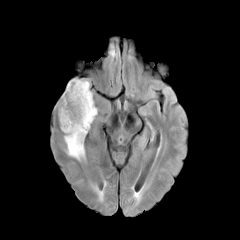
FLAIR magnetic resonance.
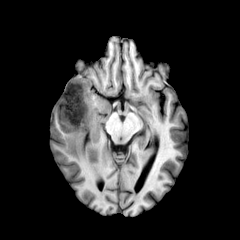
T1-weighted MR.
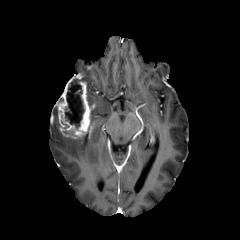
Post-contrast T1-weighted MR.
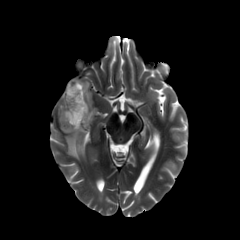
T2-weighted magnetic resonance of the same slice.
Axial view
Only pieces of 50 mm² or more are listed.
The largest necrotic tumor core region is bounded by <box>65,80,84,128</box>. The 2 largest peritumoral edema regions are located at <box>85,81,97,124</box>, <box>64,135,85,160</box>. The enhancing tumor is located at <box>56,77,90,138</box>.